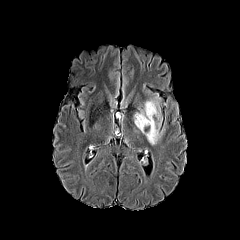
FLAIR magnetic resonance.
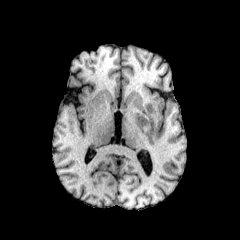
T1-weighted MR.
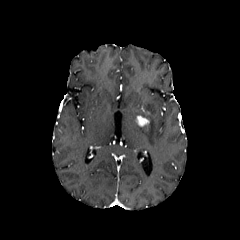
Post-contrast T1-weighted magnetic resonance of the same slice.
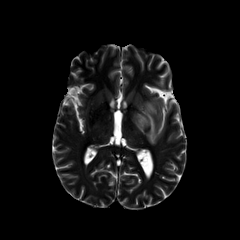
T2-weighted MRI of the same slice.
Axial slice.
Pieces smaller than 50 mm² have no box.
The peritumoral edema lies within [x1=134, y1=96, x2=162, y2=144]. The largest enhancing tumor region is located at [x1=136, y1=115, x2=149, y2=126].